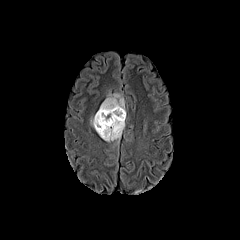
FLAIR MR.
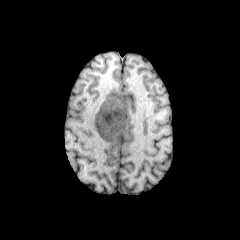
T1-weighted MR image of the same slice.
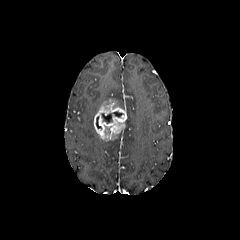
Post-contrast T1-weighted MR.
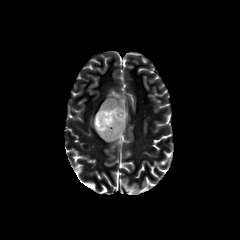
Same slice, T2-weighted MR image.
Axial plane | 240x240 px | Brain
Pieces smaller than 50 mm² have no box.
The enhancing tumor is located at x1=93, y1=99, x2=126, y2=141. The largest peritumoral edema region is bounded by x1=105, y1=93, x2=124, y2=109. The largest necrotic tumor core region appears at x1=101, y1=111, x2=123, y2=123.